Image size 240x240 | Slice 92/155 | Image width 240 mm, 1.00 mm slice spacing
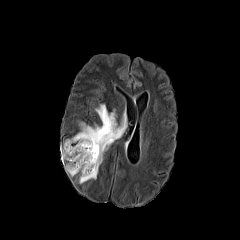
FLAIR MR image.
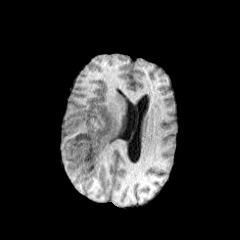
T1-weighted MR image.
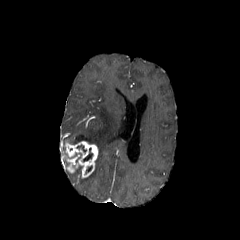
Same slice, post-contrast T1-weighted MR image.
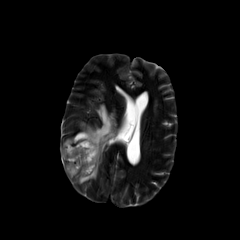
T2-weighted MR image.
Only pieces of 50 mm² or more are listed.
enhancing tumor at x1=61 y1=140 x2=98 y2=178
peritumoral edema at x1=65 y1=103 x2=127 y2=183
necrotic tumor core at x1=83 y1=148 x2=92 y2=161